Head; Axial view; 240x240; Slice 113 of 155
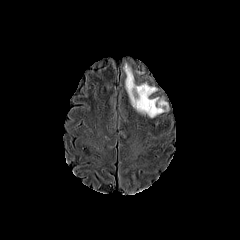
FLAIR MR image.
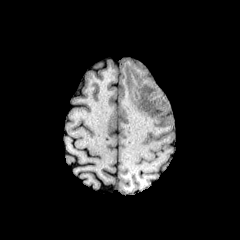
T1-weighted MR image.
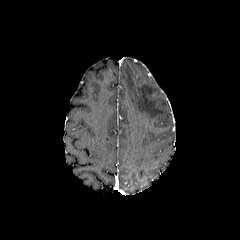
Same slice, post-contrast T1-weighted MR image.
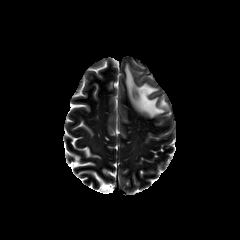
T2-weighted magnetic resonance of the same slice.
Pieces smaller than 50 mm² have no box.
peritumoral edema at 125, 64, 166, 117